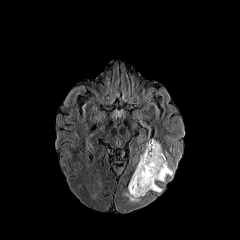
FLAIR MR image.
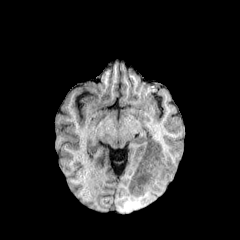
T1-weighted MRI.
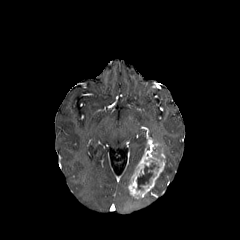
Same slice, post-contrast T1-weighted MRI.
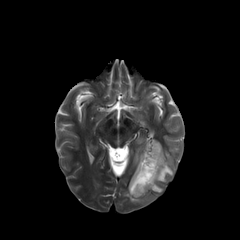
T2-weighted magnetic resonance.
Head
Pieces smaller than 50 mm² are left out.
peritumoral edema = bbox(157, 151, 173, 182); bbox(151, 184, 162, 192); bbox(124, 192, 140, 202)
necrotic tumor core = bbox(137, 163, 159, 189)
enhancing tumor = bbox(128, 139, 165, 198)